Brain
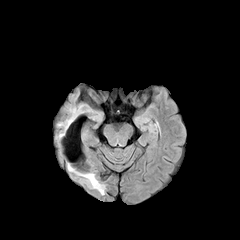
FLAIR magnetic resonance.
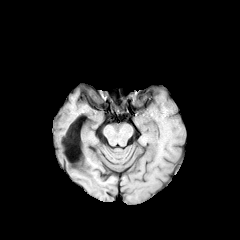
T1-weighted magnetic resonance of the same slice.
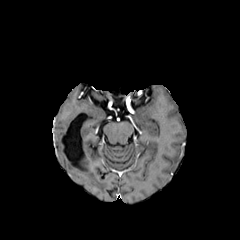
Same slice, post-contrast T1-weighted magnetic resonance.
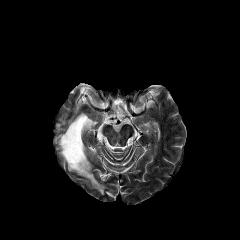
Same slice, T2-weighted MR.
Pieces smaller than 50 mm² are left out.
The largest peritumoral edema region lies within bbox(82, 172, 104, 194).